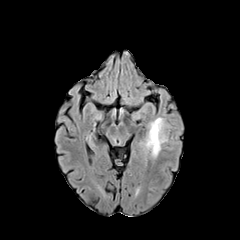
FLAIR magnetic resonance.
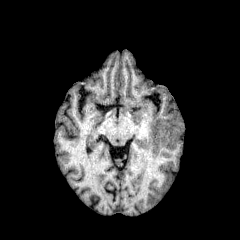
Same slice, T1-weighted MRI.
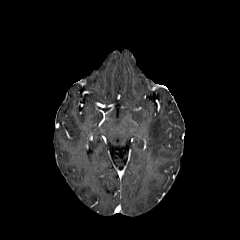
Same slice, post-contrast T1-weighted MR image.
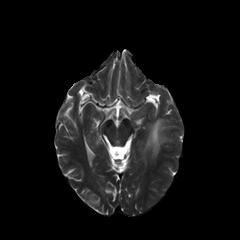
T2-weighted MR image.
Image size 240x240 | Axial view
peritumoral edema — [x1=147, y1=118, x2=166, y2=157]